Brain. Axial slice. Slice 81/155.
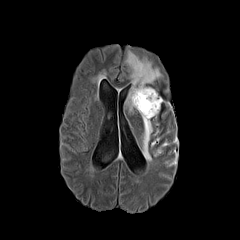
FLAIR MR image.
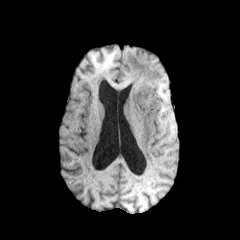
T1-weighted MRI.
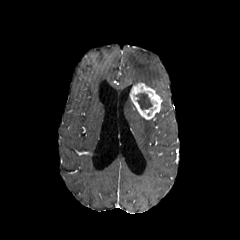
Same slice, post-contrast T1-weighted MR image.
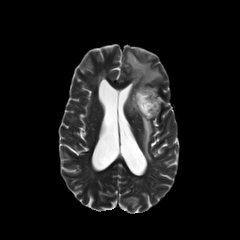
T2-weighted MR image.
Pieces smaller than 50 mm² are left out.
necrotic tumor core = x1=136 y1=93 x2=152 y2=110
enhancing tumor = x1=129 y1=83 x2=162 y2=119
peritumoral edema = x1=126 y1=94 x2=134 y2=111, x1=125 y1=50 x2=161 y2=84, x1=141 y1=117 x2=152 y2=161